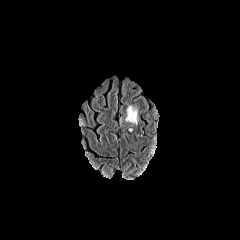
FLAIR MR.
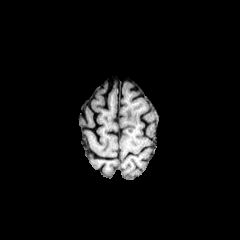
T1-weighted MR.
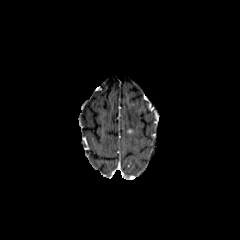
Post-contrast T1-weighted magnetic resonance of the same slice.
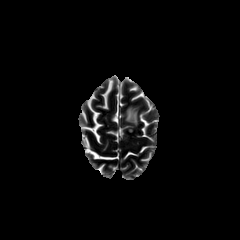
T2-weighted MR image of the same slice.
Head
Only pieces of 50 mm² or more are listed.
{
  "peritumoral_edema": [
    "(125, 106, 137, 124)"
  ]
}